FLAIR MRI.
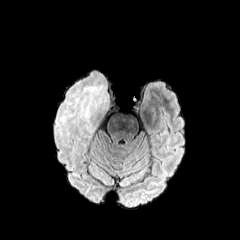
T1-weighted MRI.
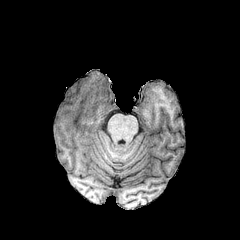
Post-contrast T1-weighted MR.
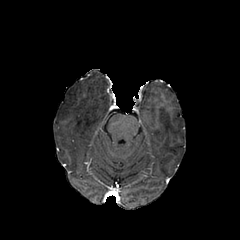
T2-weighted MRI.
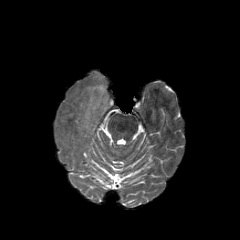
Brain, Axial view, Image size 240x240
The peritumoral edema is bounded by box=[55, 71, 110, 133].